FLAIR MR.
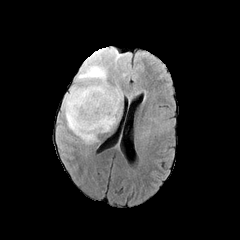
T1-weighted MRI.
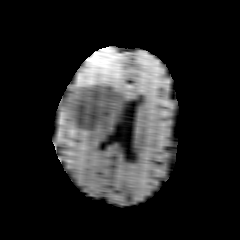
Post-contrast T1-weighted magnetic resonance.
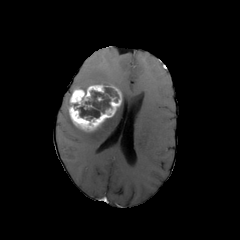
T2-weighted MR image.
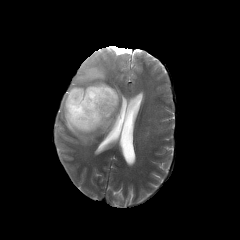
Brain, Axial view
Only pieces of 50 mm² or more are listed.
enhancing_tumor:
  - <bbox>68, 82, 122, 131</bbox>
peritumoral_edema:
  - <bbox>69, 63, 106, 93</bbox>
  - <bbox>62, 94, 123, 144</bbox>
necrotic_tumor_core:
  - <bbox>105, 88, 117, 96</bbox>
  - <bbox>79, 92, 110, 118</bbox>